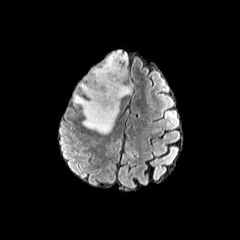
FLAIR magnetic resonance.
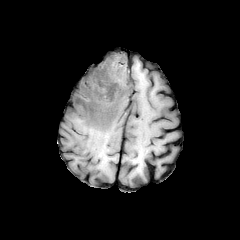
T1-weighted MRI.
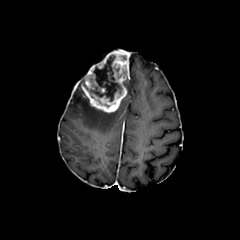
Post-contrast T1-weighted magnetic resonance.
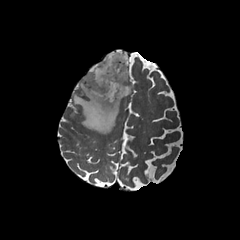
T2-weighted MRI of the same slice.
Axial view
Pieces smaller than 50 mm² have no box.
peritumoral edema: <bbox>73, 84, 119, 133</bbox> | enhancing tumor: <bbox>81, 49, 129, 113</bbox> | necrotic tumor core: <bbox>85, 55, 123, 108</bbox>